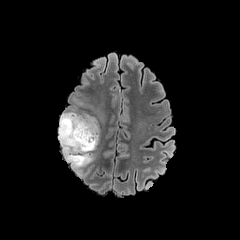
FLAIR MR image.
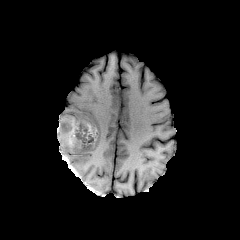
T1-weighted magnetic resonance.
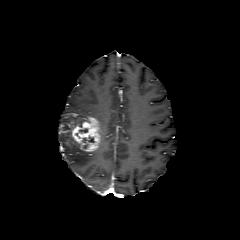
Post-contrast T1-weighted MR.
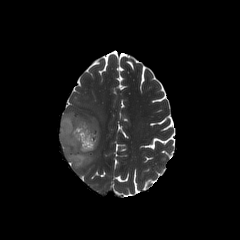
T2-weighted magnetic resonance.
Head
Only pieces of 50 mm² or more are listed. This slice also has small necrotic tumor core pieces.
Segmented structures:
• enhancing tumor: l=61, t=117, r=100, b=151
• peritumoral edema: l=59, t=111, r=94, b=169